240x240 px | Brain | Slice 67 of 155 | Axial slice
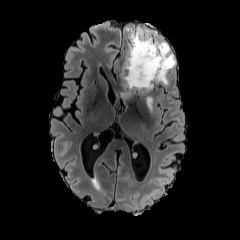
FLAIR MR.
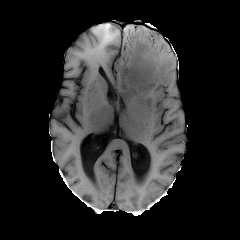
T1-weighted MR.
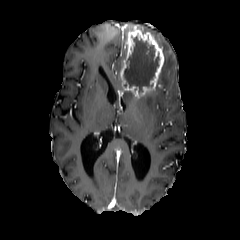
Same slice, post-contrast T1-weighted magnetic resonance.
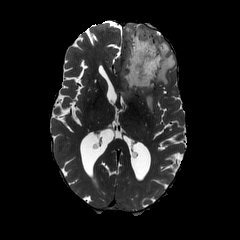
Same slice, T2-weighted MR image.
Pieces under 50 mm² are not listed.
peritumoral edema: bounding box [x1=122, y1=92, x2=132, y2=99], [x1=144, y1=93, x2=152, y2=113], [x1=135, y1=25, x2=175, y2=84], [x1=124, y1=24, x2=134, y2=39]
enhancing tumor: bounding box [x1=120, y1=25, x2=164, y2=96]
necrotic tumor core: bounding box [x1=124, y1=36, x2=159, y2=92]